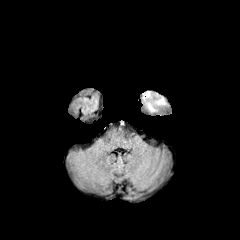
FLAIR MR.
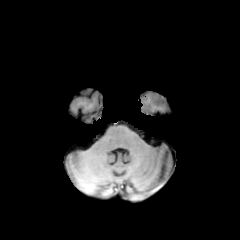
T1-weighted MR of the same slice.
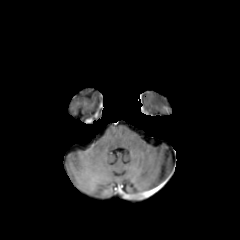
Post-contrast T1-weighted MR.
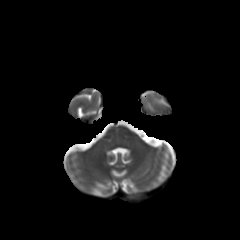
T2-weighted magnetic resonance.
Image size 240x240 | Brain | Axial slice
• peritumoral edema: [142, 94, 166, 113]